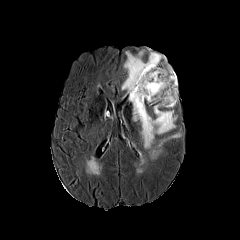
FLAIR magnetic resonance.
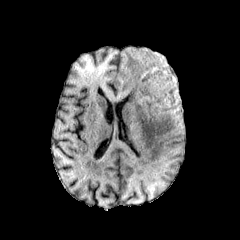
Same slice, T1-weighted magnetic resonance.
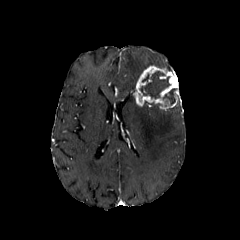
Same slice, post-contrast T1-weighted MRI.
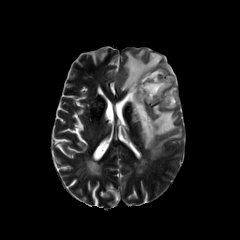
T2-weighted magnetic resonance.
Axial view, Image size 240x240
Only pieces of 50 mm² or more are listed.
• necrotic tumor core: <box>163,88,175,104</box>, <box>140,71,169,98</box>
• enhancing tumor: <box>133,65,179,110</box>
• peritumoral edema: <box>121,50,181,158</box>